FLAIR magnetic resonance.
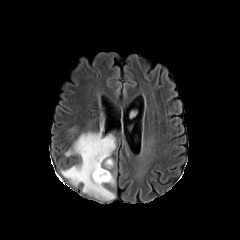
T1-weighted MR.
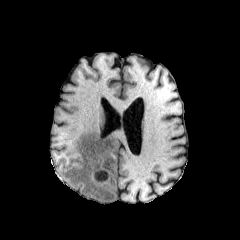
Post-contrast T1-weighted MRI.
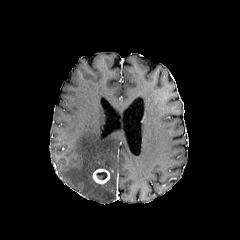
T2-weighted MRI.
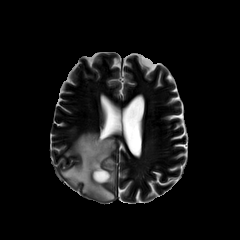
The enhancing tumor is located at 92, 168, 110, 184. 2 peritumoral edema regions appear at 61, 132, 115, 200; 105, 173, 114, 185. The necrotic tumor core is at 97, 172, 107, 179.